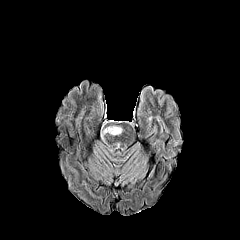
FLAIR MR.
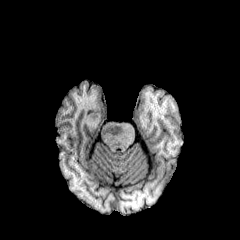
T1-weighted MRI.
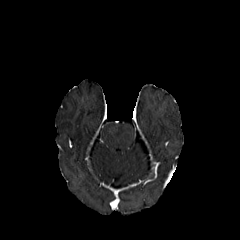
Post-contrast T1-weighted MR image of the same slice.
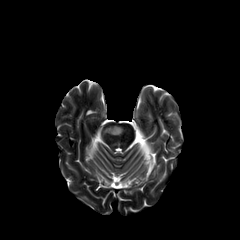
T2-weighted magnetic resonance.
Axial plane
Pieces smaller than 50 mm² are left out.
<segmentation>
  <peritumoral_edema>102:126:122:136</peritumoral_edema>
</segmentation>